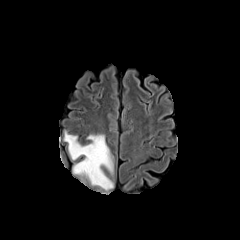
FLAIR MRI.
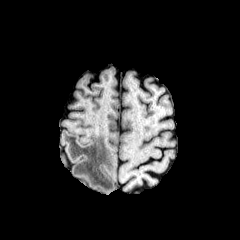
T1-weighted MR.
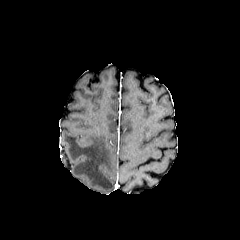
Same slice, post-contrast T1-weighted MR image.
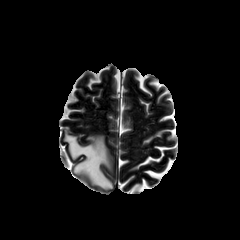
Same slice, T2-weighted MR.
240x240 px; Brain
peritumoral edema: bounding box <bbox>64, 131, 113, 190</bbox>